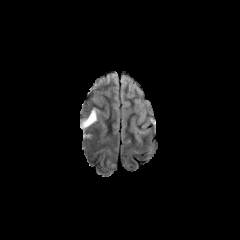
FLAIR magnetic resonance.
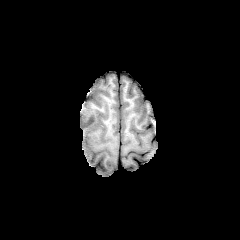
Same slice, T1-weighted MR image.
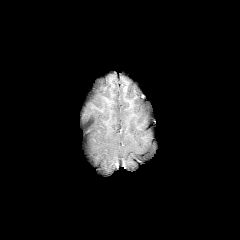
Same slice, post-contrast T1-weighted magnetic resonance.
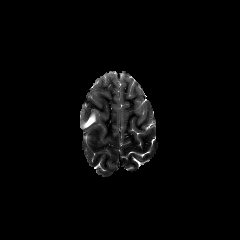
T2-weighted MRI.
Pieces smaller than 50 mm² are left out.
The largest peritumoral edema region appears at rect(80, 109, 97, 129).